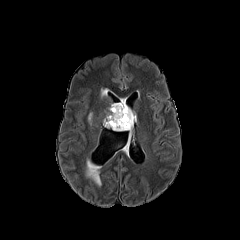
FLAIR MRI.
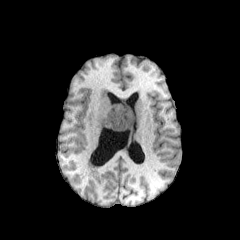
T1-weighted MRI of the same slice.
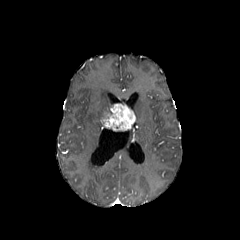
Same slice, post-contrast T1-weighted MRI.
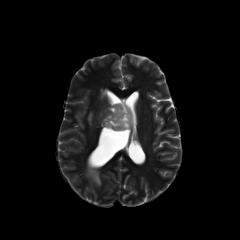
T2-weighted MRI of the same slice.
Axial view | Image size 240x240 | Brain
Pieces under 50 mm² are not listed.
peritumoral_edema:
  - 101:89:108:97
enhancing_tumor:
  - 102:103:135:130